FLAIR MR.
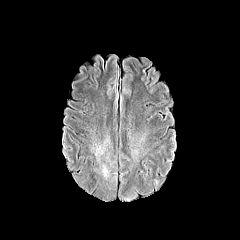
T1-weighted MR.
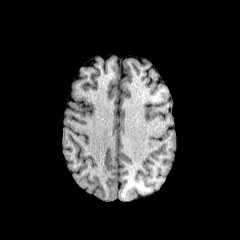
Post-contrast T1-weighted MRI.
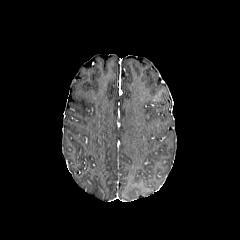
T2-weighted MRI.
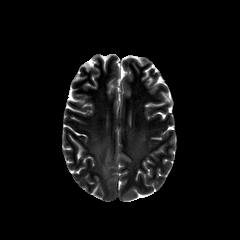
240x240
peritumoral_edema:
  - (x1=89, y1=136, x2=112, y2=178)